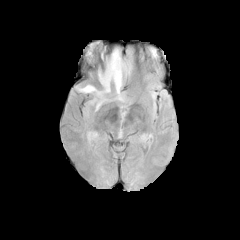
FLAIR MR image.
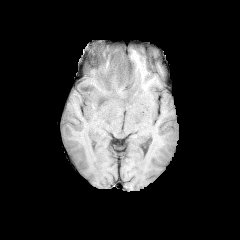
T1-weighted MR.
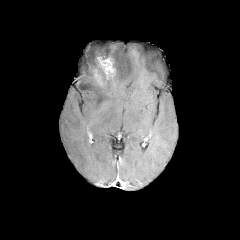
Post-contrast T1-weighted MRI of the same slice.
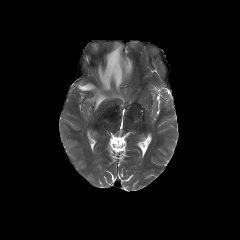
T2-weighted MRI.
Head, Axial plane
The enhancing tumor is at box(95, 56, 116, 87). The necrotic tumor core is bounded by box(98, 69, 106, 81). The peritumoral edema is located at box(74, 46, 135, 111).